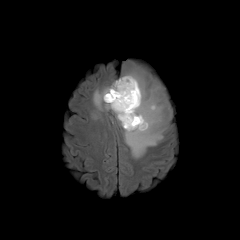
FLAIR MRI.
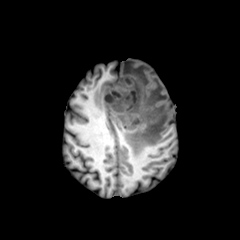
T1-weighted magnetic resonance of the same slice.
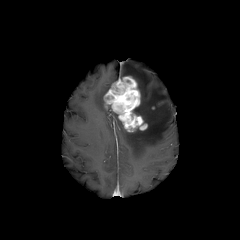
Post-contrast T1-weighted MR.
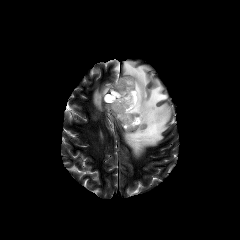
T2-weighted MR.
Axial view
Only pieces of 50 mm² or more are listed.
{"necrotic_tumor_core": ["(x1=106, y1=92, x2=118, y2=101)"], "enhancing_tumor": ["(x1=103, y1=76, x2=147, y2=132)"], "peritumoral_edema": ["(x1=93, y1=85, x2=110, y2=110)", "(x1=111, y1=62, x2=171, y2=158)"]}